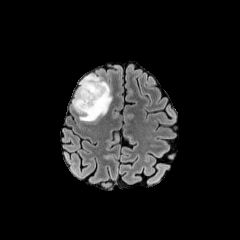
FLAIR MRI.
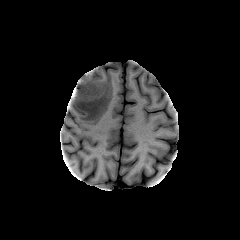
T1-weighted magnetic resonance.
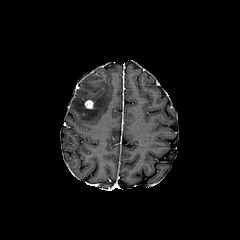
Post-contrast T1-weighted MRI of the same slice.
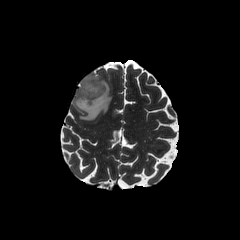
T2-weighted magnetic resonance of the same slice.
Head; Axial plane; 240x240
The peritumoral edema lies within region(72, 74, 112, 121). The enhancing tumor lies within region(84, 99, 94, 109).